FLAIR MR image.
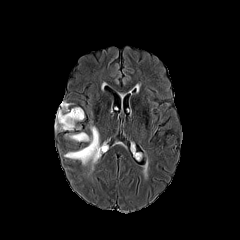
T1-weighted MR.
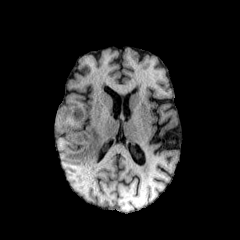
Post-contrast T1-weighted MR image.
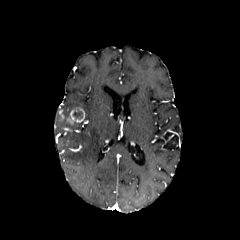
T2-weighted MRI.
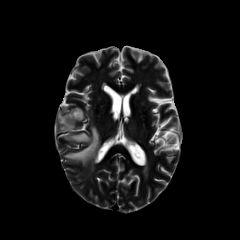
Axial plane.
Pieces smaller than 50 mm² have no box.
enhancing tumor — box(66, 107, 84, 125)
peritumoral edema — box(55, 103, 75, 130); box(64, 125, 100, 165)
necrotic tumor core — box(73, 111, 82, 118)